Slice 73/155, Image width 240 mm, Axial slice
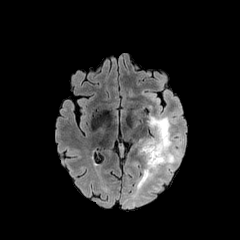
FLAIR MR image.
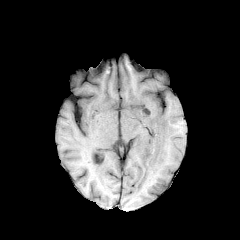
T1-weighted MR image.
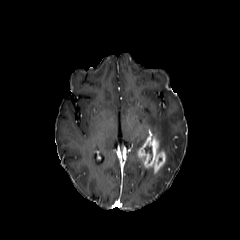
Post-contrast T1-weighted MRI.
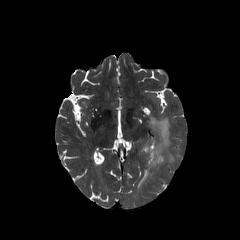
T2-weighted MR.
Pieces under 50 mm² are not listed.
The largest necrotic tumor core region is at {"x1": 144, "y1": 146, "x2": 152, "y2": 162}. The enhancing tumor appears at {"x1": 138, "y1": 131, "x2": 166, "y2": 173}. The largest peritumoral edema region lies within {"x1": 135, "y1": 116, "x2": 183, "y2": 191}.